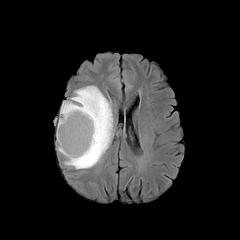
FLAIR MR image.
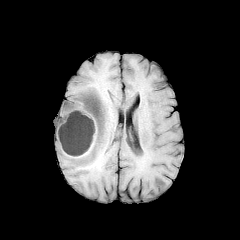
T1-weighted MR image of the same slice.
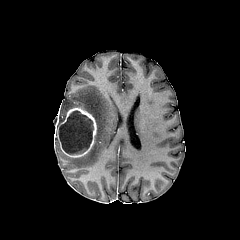
Same slice, post-contrast T1-weighted magnetic resonance.
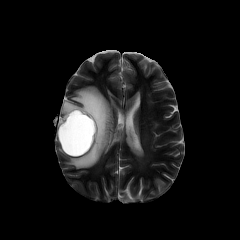
T2-weighted magnetic resonance.
{
  "peritumoral_edema": [
    {"x1": 57, "y1": 86, "x2": 113, "y2": 168}
  ],
  "enhancing_tumor": [
    {"x1": 56, "y1": 107, "x2": 96, "y2": 157}
  ],
  "necrotic_tumor_core": [
    {"x1": 58, "y1": 111, "x2": 93, "y2": 154}
  ]
}